Slice index 67. Axial slice. Image size 240x240.
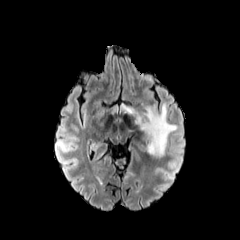
FLAIR magnetic resonance.
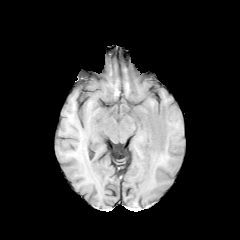
T1-weighted MR.
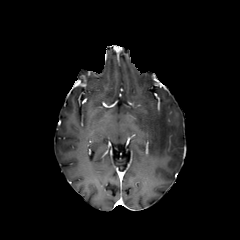
Post-contrast T1-weighted MRI of the same slice.
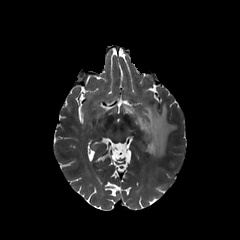
T2-weighted MR.
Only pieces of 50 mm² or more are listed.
<segmentation>
  <peritumoral_edema>{"x1": 120, "y1": 103, "x2": 177, "y2": 156}</peritumoral_edema>
</segmentation>